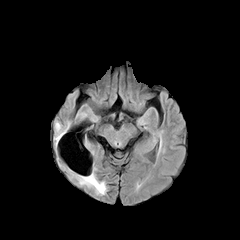
FLAIR MRI.
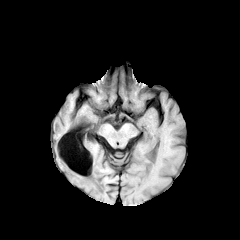
T1-weighted MR.
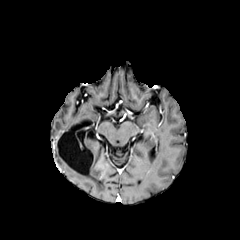
Post-contrast T1-weighted MR.
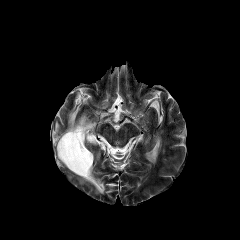
T2-weighted MR.
Head
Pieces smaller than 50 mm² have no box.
The largest peritumoral edema region is bounded by bbox=[79, 173, 105, 193].